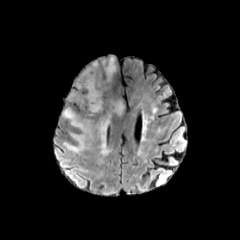
FLAIR MR image.
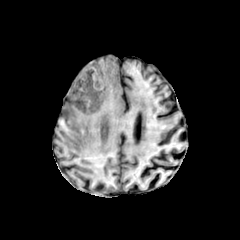
Same slice, T1-weighted MR image.
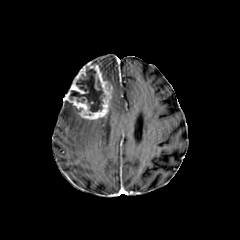
Post-contrast T1-weighted MR image.
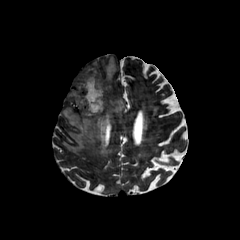
T2-weighted magnetic resonance of the same slice.
Axial plane.
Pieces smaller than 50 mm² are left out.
The largest enhancing tumor region is at 65,63,112,119. The necrotic tumor core is at 70,67,104,111. The 3 largest peritumoral edema regions are located at 62,107,110,154; 105,56,115,83; 114,101,123,112.